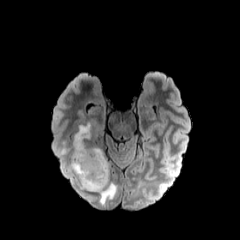
FLAIR MR image.
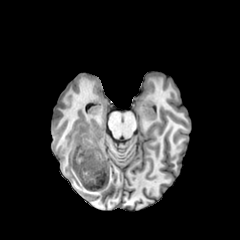
T1-weighted MRI.
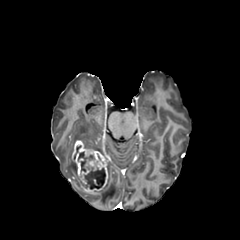
Post-contrast T1-weighted magnetic resonance.
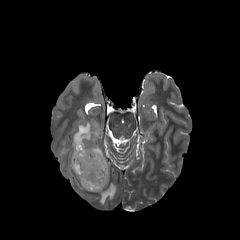
Same slice, T2-weighted MR.
Head | 240x240 px
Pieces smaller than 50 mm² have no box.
enhancing_tumor:
  - left=72, top=140, right=107, bottom=192
necrotic_tumor_core:
  - left=78, top=151, right=105, bottom=189
peritumoral_edema:
  - left=56, top=122, right=104, bottom=176
  - left=98, top=161, right=116, bottom=204